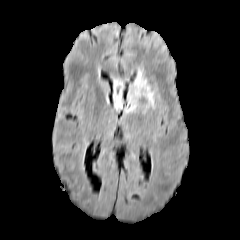
FLAIR magnetic resonance.
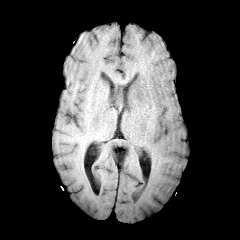
Same slice, T1-weighted MRI.
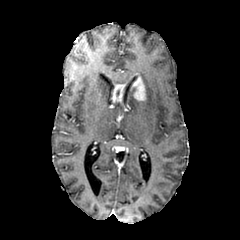
Post-contrast T1-weighted MR.
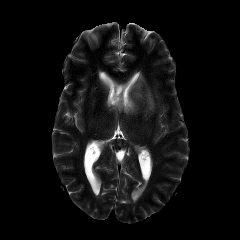
T2-weighted MR.
240x240 px
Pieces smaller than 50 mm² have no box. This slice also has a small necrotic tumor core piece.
enhancing tumor = {"x1": 112, "y1": 84, "x2": 129, "y2": 111}, {"x1": 132, "y1": 76, "x2": 145, "y2": 100}
peritumoral edema = {"x1": 125, "y1": 88, "x2": 138, "y2": 113}, {"x1": 138, "y1": 70, "x2": 154, "y2": 111}